Head. Slice index 106. 240x240. Axial slice.
FLAIR magnetic resonance.
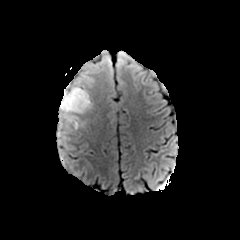
T1-weighted MR.
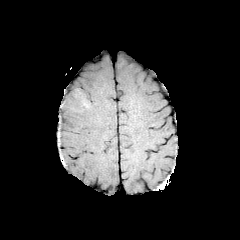
Post-contrast T1-weighted MR image.
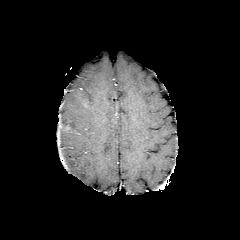
T2-weighted MR image.
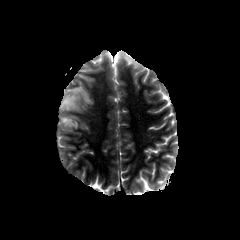
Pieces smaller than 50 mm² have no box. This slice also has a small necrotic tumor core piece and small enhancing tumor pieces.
peritumoral edema: 58, 84, 93, 133